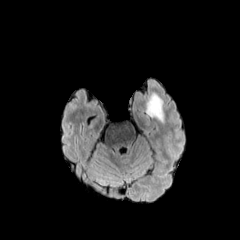
FLAIR MR.
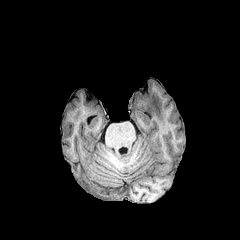
T1-weighted MR image.
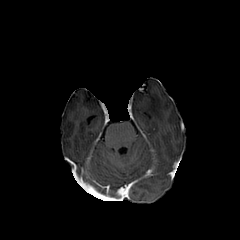
Post-contrast T1-weighted MR of the same slice.
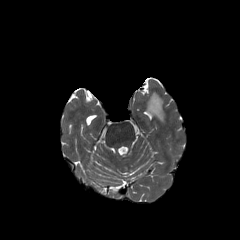
T2-weighted magnetic resonance.
Brain
The peritumoral edema appears at [x1=146, y1=94, x2=163, y2=122].